Axial plane
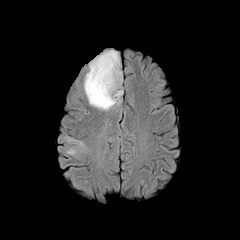
FLAIR MR.
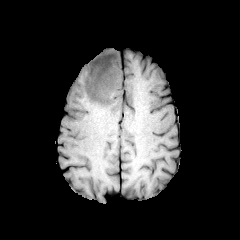
T1-weighted MR of the same slice.
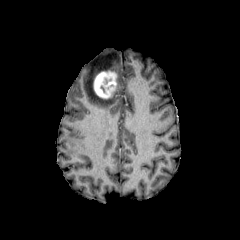
Post-contrast T1-weighted MRI.
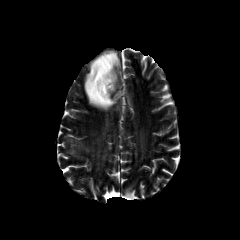
T2-weighted MR image.
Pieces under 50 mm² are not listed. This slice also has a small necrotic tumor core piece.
peritumoral edema: bounding box box=[84, 50, 122, 110]
enhancing tumor: bounding box box=[93, 70, 117, 98]